240x240 px; Slice index 52; Axial plane; Brain; Image width 240 mm, 1.00 mm slice spacing
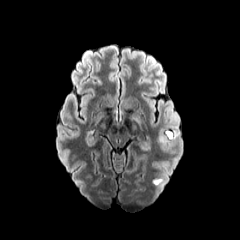
FLAIR magnetic resonance.
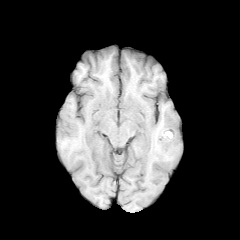
Same slice, T1-weighted magnetic resonance.
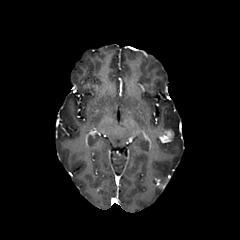
Post-contrast T1-weighted MR.
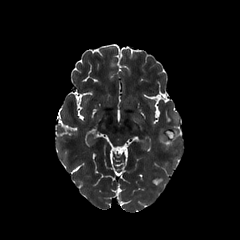
T2-weighted MR.
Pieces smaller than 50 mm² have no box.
• enhancing tumor: x1=159 y1=131 x2=173 y2=142
• peritumoral edema: x1=156 y1=174 x2=167 y2=184, x1=158 y1=128 x2=178 y2=146